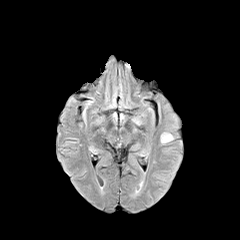
FLAIR MRI.
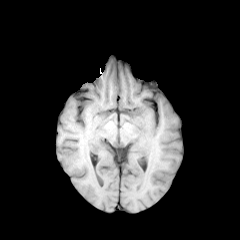
T1-weighted MRI of the same slice.
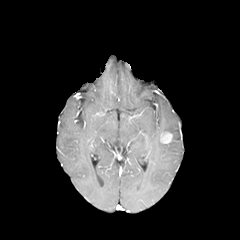
Post-contrast T1-weighted MR image of the same slice.
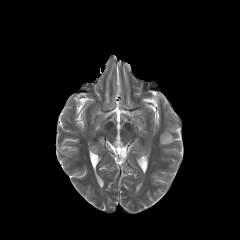
Same slice, T2-weighted MRI.
Head
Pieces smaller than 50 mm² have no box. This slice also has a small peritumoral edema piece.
enhancing_tumor:
  - (x1=160, y1=132, x2=172, y2=143)